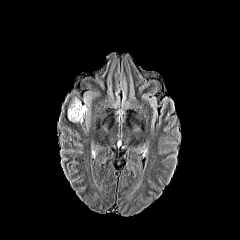
FLAIR MRI.
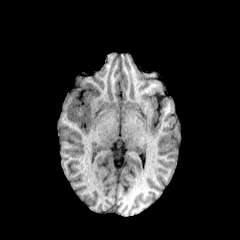
T1-weighted MR of the same slice.
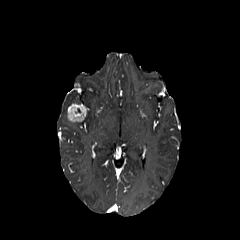
Same slice, post-contrast T1-weighted magnetic resonance.
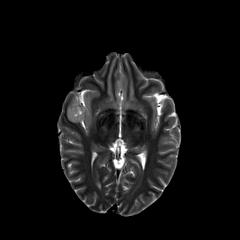
T2-weighted MR image.
Head. Axial plane.
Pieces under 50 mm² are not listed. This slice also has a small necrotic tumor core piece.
Findings:
- peritumoral edema: x1=84, y1=96, x2=90, y2=107
- enhancing tumor: x1=68, y1=103, x2=87, y2=122